FLAIR MR image.
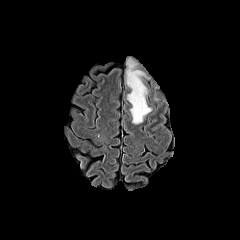
T1-weighted MR.
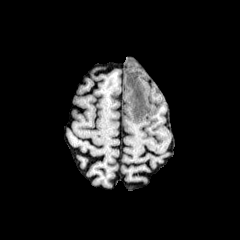
Post-contrast T1-weighted MR.
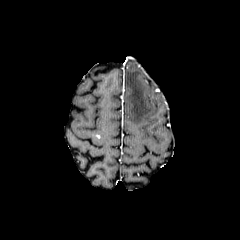
T2-weighted MR.
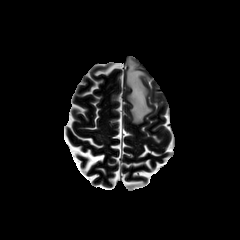
Axial slice.
peritumoral edema: l=126, t=60, r=151, b=124